240x240; Brain; Axial plane
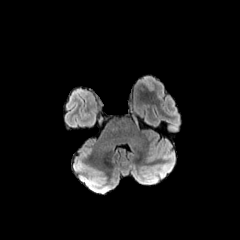
FLAIR magnetic resonance.
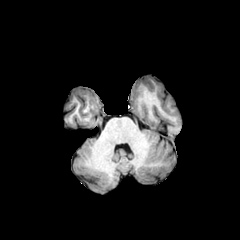
Same slice, T1-weighted MRI.
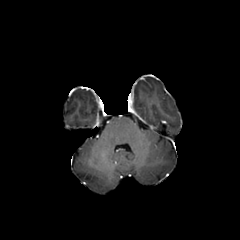
Same slice, post-contrast T1-weighted MR.
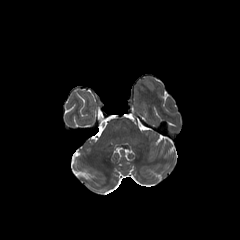
T2-weighted MRI of the same slice.
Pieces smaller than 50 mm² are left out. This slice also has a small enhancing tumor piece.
peritumoral edema: bounding box (left=142, top=78, right=153, bottom=90)